FLAIR magnetic resonance.
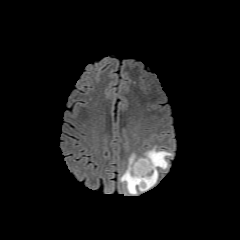
T1-weighted MRI.
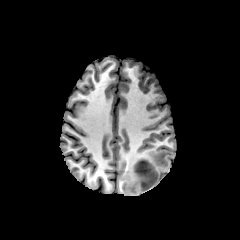
Post-contrast T1-weighted MR.
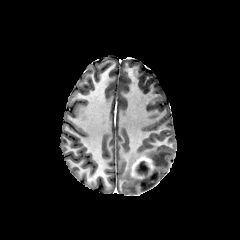
T2-weighted MR image.
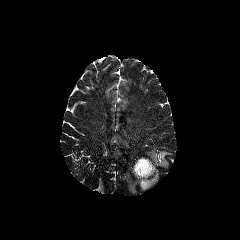
Axial view. Brain. Image size 240x240.
The necrotic tumor core is at (left=136, top=161, right=149, bottom=175). The enhancing tumor is bounded by (left=131, top=157, right=154, bottom=179). The peritumoral edema lies within (left=119, top=146, right=172, bottom=194).